Slice 41 of 155
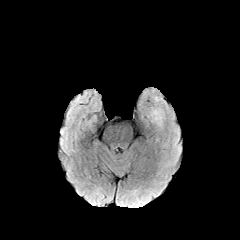
FLAIR magnetic resonance.
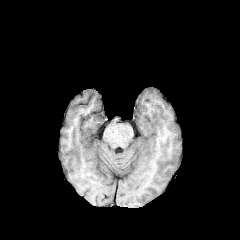
T1-weighted magnetic resonance.
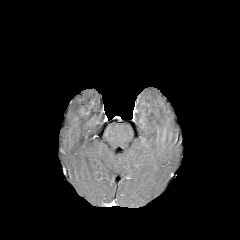
Post-contrast T1-weighted MR image.
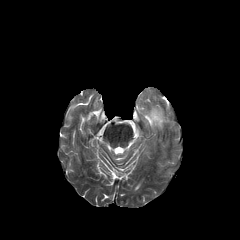
Same slice, T2-weighted MR.
<segmentation>
  <peritumoral_edema><bbox>152, 110, 161, 124</bbox></peritumoral_edema>
</segmentation>